FLAIR MR.
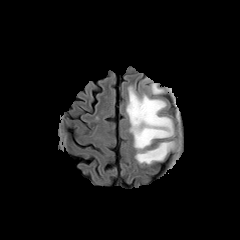
T1-weighted MR.
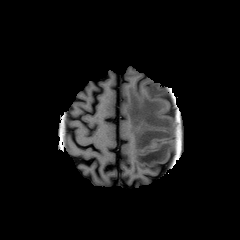
Post-contrast T1-weighted MR.
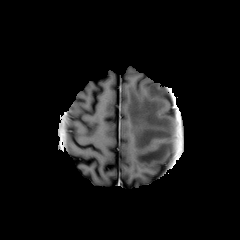
T2-weighted MR.
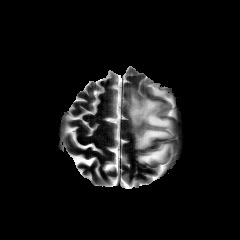
Brain.
Segmented structures:
- peritumoral edema: [126,87,174,164], [150,83,164,95]